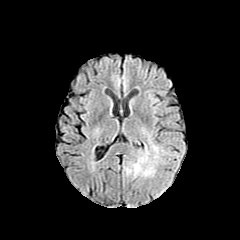
FLAIR MRI.
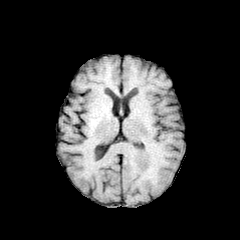
T1-weighted magnetic resonance of the same slice.
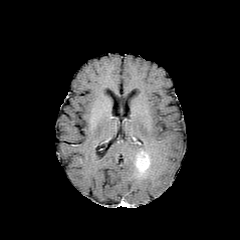
Post-contrast T1-weighted MR image.
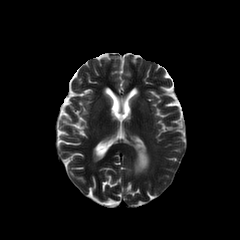
T2-weighted MRI.
Axial plane.
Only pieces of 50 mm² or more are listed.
The largest peritumoral edema region is at (124, 157, 155, 177). The enhancing tumor is located at (135, 150, 150, 175).